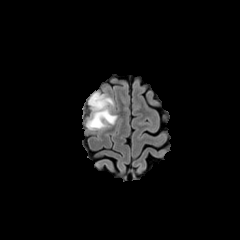
FLAIR MR.
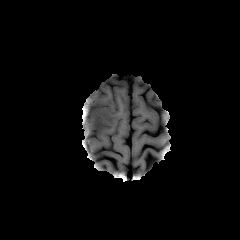
T1-weighted MR of the same slice.
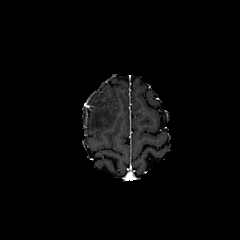
Post-contrast T1-weighted MR image.
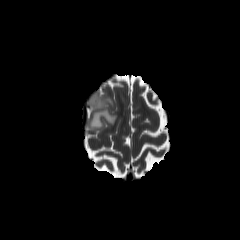
T2-weighted MRI of the same slice.
Axial slice | Brain
{"peritumoral_edema": ["86:91:117:129"]}